Brain
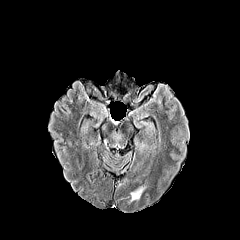
FLAIR MRI.
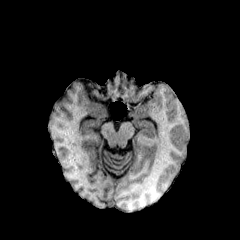
T1-weighted MRI.
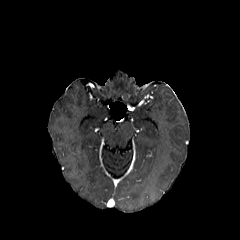
Post-contrast T1-weighted MR.
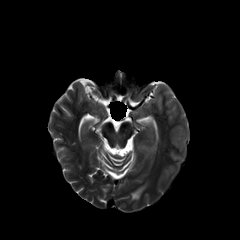
Same slice, T2-weighted MR.
The peritumoral edema lies within region(131, 187, 144, 200).